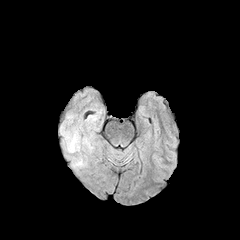
FLAIR magnetic resonance.
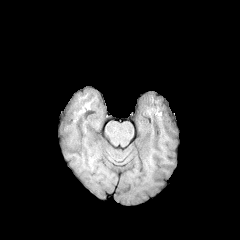
T1-weighted MR.
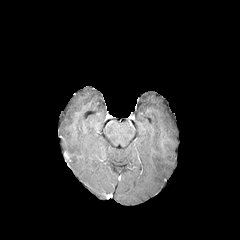
Same slice, post-contrast T1-weighted MRI.
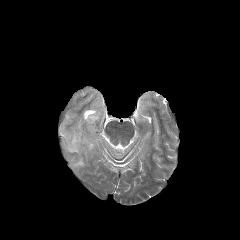
T2-weighted magnetic resonance.
240x240 px; Brain
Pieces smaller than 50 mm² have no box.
peritumoral edema — 60:126:94:152, 73:157:86:167, 86:115:96:129